FLAIR MR.
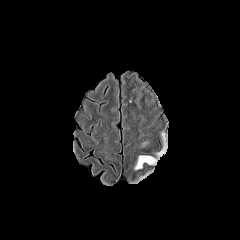
T1-weighted MRI.
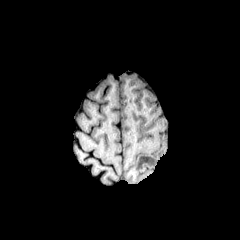
Post-contrast T1-weighted magnetic resonance.
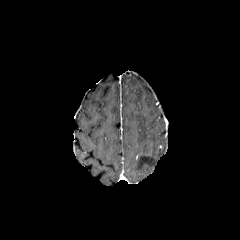
T2-weighted MR image.
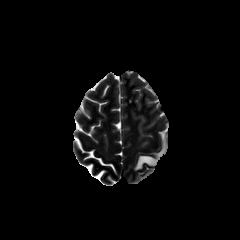
240x240. Head.
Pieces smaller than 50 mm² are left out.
peritumoral_edema:
  - [134,134,166,169]